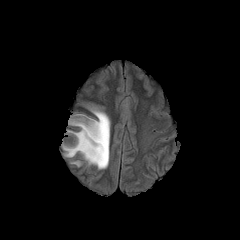
FLAIR magnetic resonance.
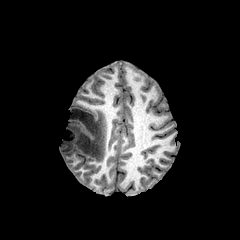
T1-weighted MRI.
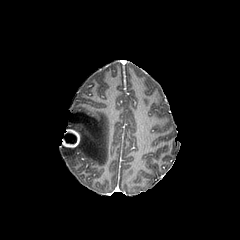
Post-contrast T1-weighted MR image.
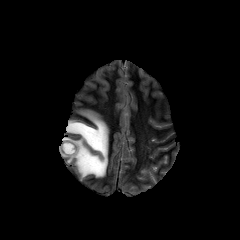
Same slice, T2-weighted MR.
Axial slice; 240x240
necrotic_tumor_core:
  - [63,133,76,143]
enhancing_tumor:
  - [62,129,79,147]
peritumoral_edema:
  - [62,109,109,171]